Image size 240x240, Axial slice, Slice index 117
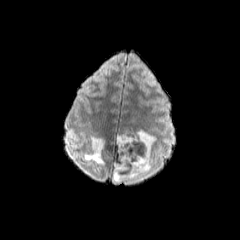
FLAIR MRI.
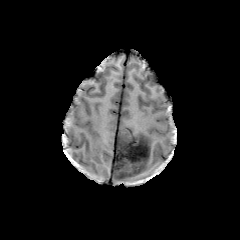
T1-weighted magnetic resonance.
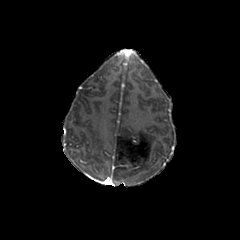
Post-contrast T1-weighted MR image of the same slice.
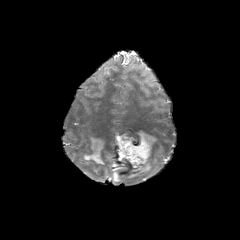
T2-weighted MR of the same slice.
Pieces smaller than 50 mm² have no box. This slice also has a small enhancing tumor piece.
Segmented structures:
• peritumoral edema: (x1=83, y1=136, x2=104, y2=164), (x1=112, y1=130, x2=155, y2=182)